FLAIR MRI.
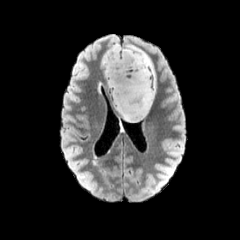
T1-weighted MRI.
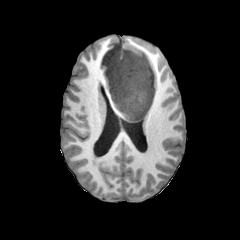
Post-contrast T1-weighted MRI.
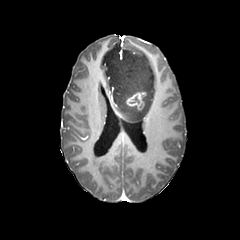
T2-weighted MR.
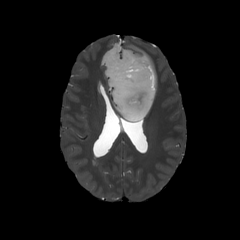
Head | 240x240 px
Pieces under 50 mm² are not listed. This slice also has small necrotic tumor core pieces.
peritumoral_edema:
  - (102,45,155,122)
enhancing_tumor:
  - (126,91,146,110)